Axial plane
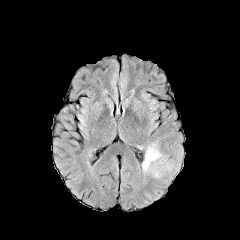
FLAIR MR.
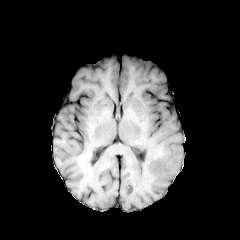
T1-weighted MRI.
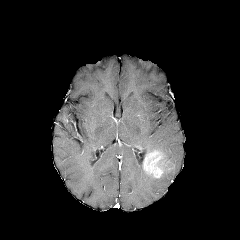
Post-contrast T1-weighted MR.
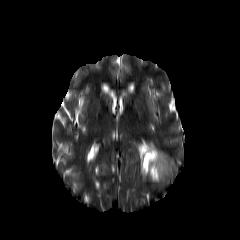
T2-weighted MR image.
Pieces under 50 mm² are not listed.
Findings:
- enhancing tumor: 143:150:166:178
- peritumoral edema: 140:142:160:155, 153:154:173:180